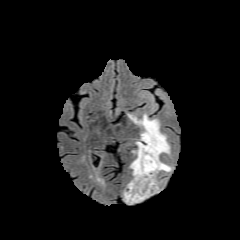
FLAIR MR image.
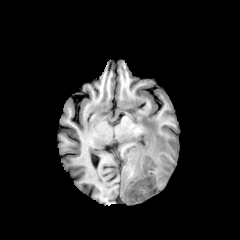
T1-weighted MR.
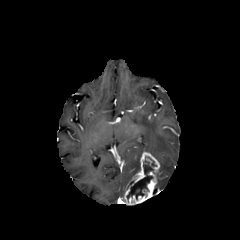
Post-contrast T1-weighted MRI.
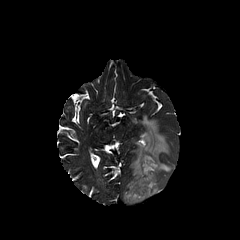
T2-weighted MR of the same slice.
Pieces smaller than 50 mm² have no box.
The largest peritumoral edema region appears at [130,114,171,176]. The largest necrotic tumor core region is located at [127,161,153,198]. The largest enhancing tumor region is bounded by [123,151,160,205].